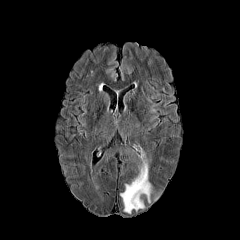
FLAIR MRI.
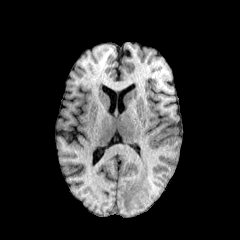
Same slice, T1-weighted MR image.
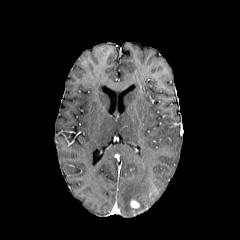
Post-contrast T1-weighted MR image.
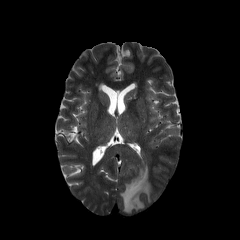
T2-weighted MRI.
Brain.
<segmentation>
  <peritumoral_edema>box(120, 143, 154, 213); box(153, 189, 161, 200)</peritumoral_edema>
  <enhancing_tumor>box(130, 200, 139, 208)</enhancing_tumor>
</segmentation>